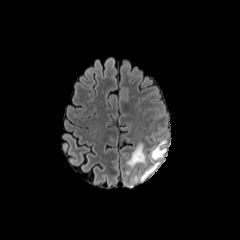
FLAIR magnetic resonance.
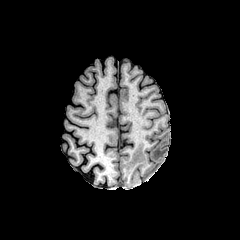
T1-weighted MR image of the same slice.
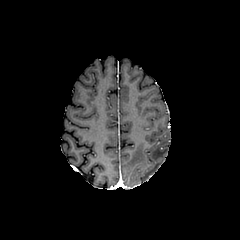
Post-contrast T1-weighted MRI of the same slice.
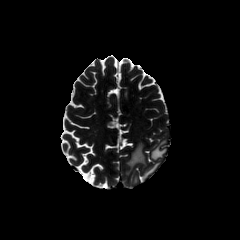
T2-weighted magnetic resonance of the same slice.
Brain; 240x240 px
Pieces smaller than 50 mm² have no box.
peritumoral_edema:
  - left=140, top=162, right=160, bottom=180
  - left=127, top=143, right=145, bottom=173
  - left=151, top=140, right=166, bottom=159